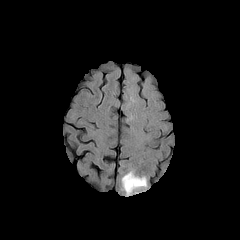
FLAIR magnetic resonance.
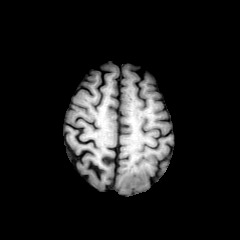
T1-weighted MR image of the same slice.
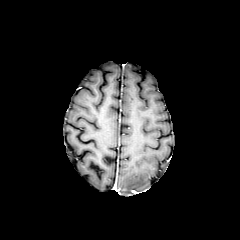
Same slice, post-contrast T1-weighted MR image.
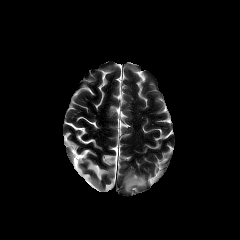
T2-weighted MR image of the same slice.
peritumoral edema — 122 171 146 193